Axial plane. Brain. 240x240.
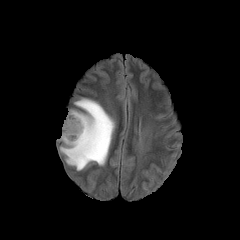
FLAIR MRI.
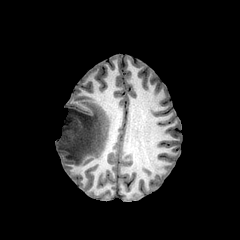
T1-weighted MRI of the same slice.
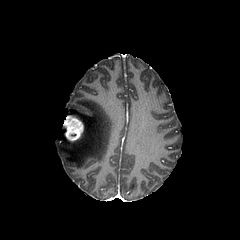
Post-contrast T1-weighted MR image.
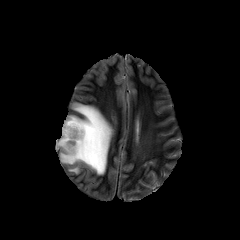
T2-weighted MRI.
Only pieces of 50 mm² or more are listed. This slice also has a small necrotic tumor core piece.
enhancing_tumor:
  - bbox(63, 116, 83, 141)
peritumoral_edema:
  - bbox(59, 99, 114, 170)